FLAIR magnetic resonance.
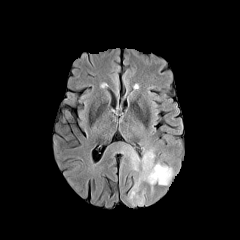
T1-weighted MR image.
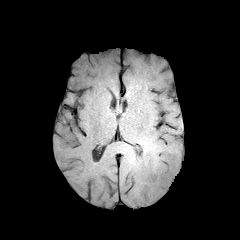
Post-contrast T1-weighted MR image.
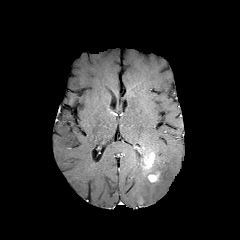
T2-weighted magnetic resonance.
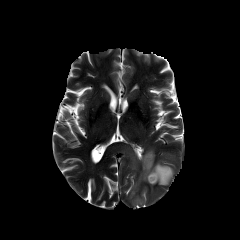
Head
{
  "peritumoral_edema": [
    {"x1": 123, "y1": 144, "x2": 152, "y2": 169},
    {"x1": 129, "y1": 162, "x2": 173, "y2": 204}
  ],
  "enhancing_tumor": [
    {"x1": 147, "y1": 172, "x2": 159, "y2": 182},
    {"x1": 143, "y1": 152, "x2": 154, "y2": 172}
  ]
}